Brain, Slice 58/155
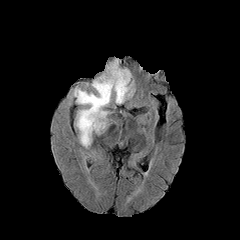
FLAIR magnetic resonance.
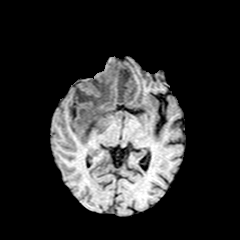
T1-weighted MRI.
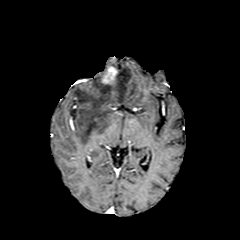
Same slice, post-contrast T1-weighted magnetic resonance.
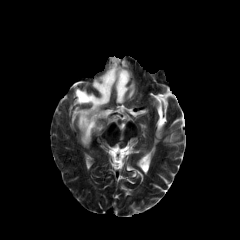
T2-weighted magnetic resonance.
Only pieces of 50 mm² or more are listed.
{"peritumoral_edema": ["bbox(74, 59, 134, 146)"], "enhancing_tumor": ["bbox(101, 66, 117, 84)"]}